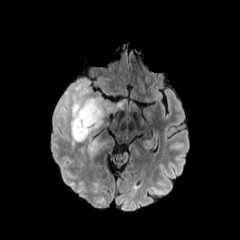
FLAIR MR image.
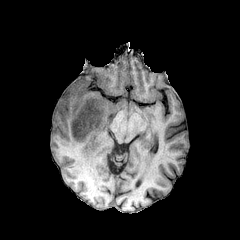
Same slice, T1-weighted magnetic resonance.
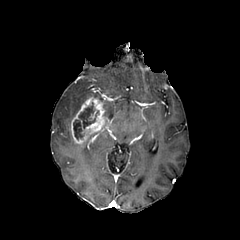
Same slice, post-contrast T1-weighted MRI.
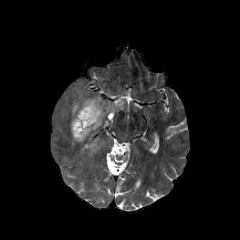
T2-weighted MRI.
Head; Axial slice
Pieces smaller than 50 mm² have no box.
The largest enhancing tumor region is at 70,96,107,144. The 2 largest necrotic tumor core regions are bounded by 73,120,83,139; 79,102,95,128. The 2 largest peritumoral edema regions appear at 52,75,124,145; 87,133,101,152.